Image size 240x240. Axial view.
FLAIR MR image.
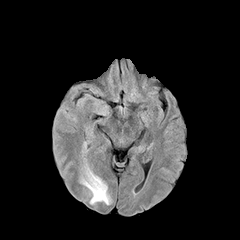
T1-weighted MRI.
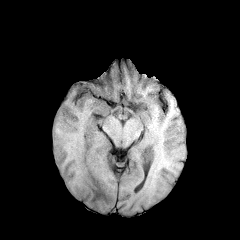
Post-contrast T1-weighted MR image.
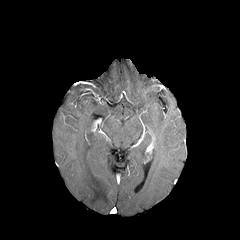
T2-weighted MR.
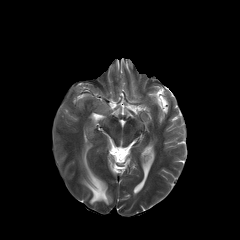
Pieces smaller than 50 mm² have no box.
The largest peritumoral edema region is at x1=80 y1=158 x2=110 y2=204.